FLAIR MR image.
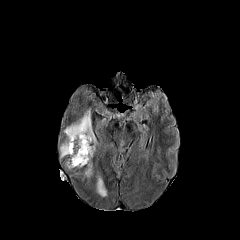
T1-weighted MR image.
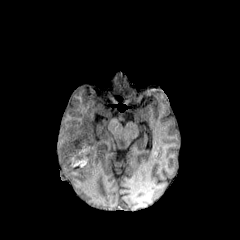
Post-contrast T1-weighted MR.
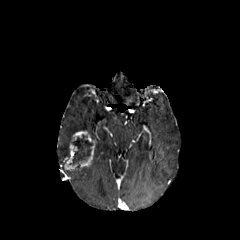
T2-weighted magnetic resonance.
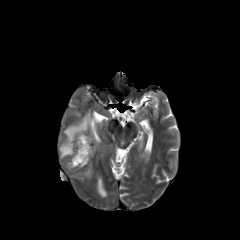
240x240 px, Brain
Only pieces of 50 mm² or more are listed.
enhancing tumor: bounding box 64:130:96:170
necrotic tumor core: bounding box 69:135:92:165
peritumoral edema: bounding box 96:176:106:197, 59:109:95:158, 84:164:92:177